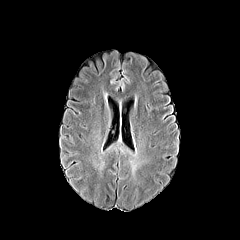
FLAIR MR.
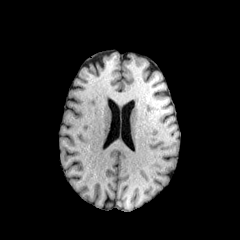
T1-weighted magnetic resonance of the same slice.
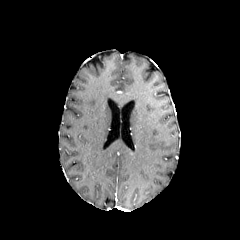
Post-contrast T1-weighted MR of the same slice.
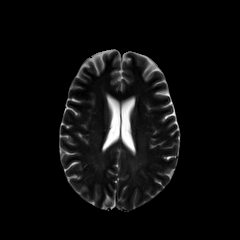
T2-weighted MRI.
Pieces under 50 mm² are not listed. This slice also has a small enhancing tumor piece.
peritumoral edema at rect(129, 155, 139, 173)